FLAIR magnetic resonance.
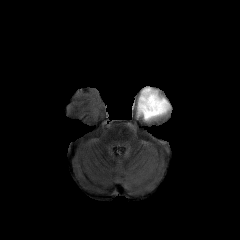
T1-weighted MRI.
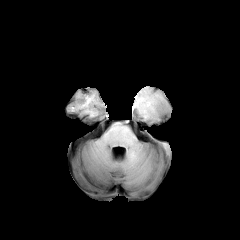
Post-contrast T1-weighted magnetic resonance.
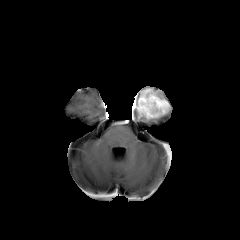
T2-weighted magnetic resonance.
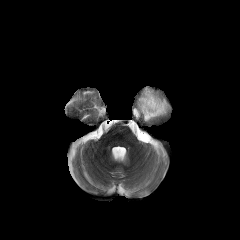
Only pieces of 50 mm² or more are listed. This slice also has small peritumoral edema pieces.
enhancing tumor at l=135, t=88, r=170, b=120